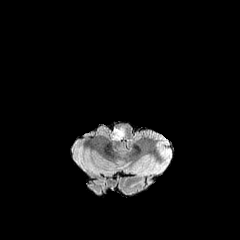
FLAIR MR.
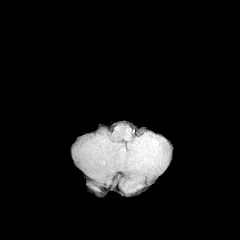
Same slice, T1-weighted MR image.
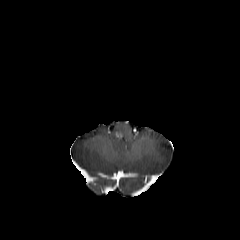
Post-contrast T1-weighted MR image of the same slice.
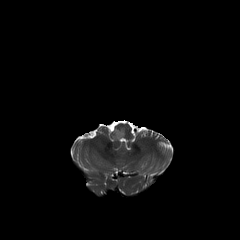
T2-weighted MRI.
Brain, Axial view, 240x240
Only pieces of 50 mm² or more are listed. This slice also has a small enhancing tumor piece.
peritumoral edema: bounding box [x1=111, y1=127, x2=125, y2=140]